FLAIR MRI.
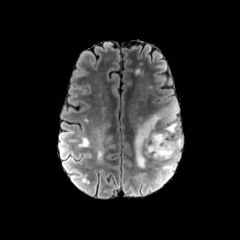
T1-weighted MRI.
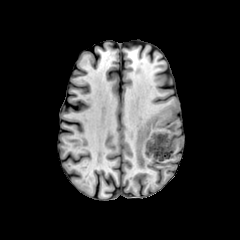
Post-contrast T1-weighted magnetic resonance.
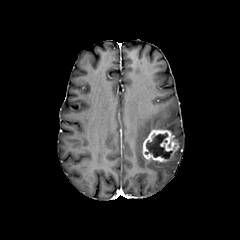
T2-weighted MRI.
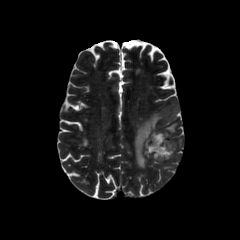
240x240.
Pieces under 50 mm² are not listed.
enhancing tumor — bbox(142, 129, 179, 161)
peritumoral edema — bbox(134, 100, 178, 167); bbox(161, 122, 178, 134); bbox(162, 136, 182, 171)
necrotic tumor core — bbox(145, 133, 172, 158)